FLAIR MR image.
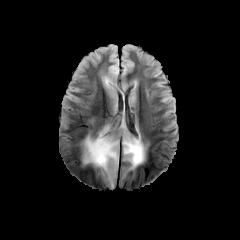
T1-weighted MR.
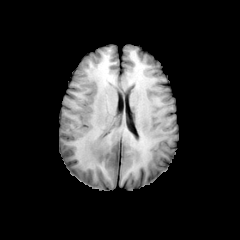
Post-contrast T1-weighted MR image.
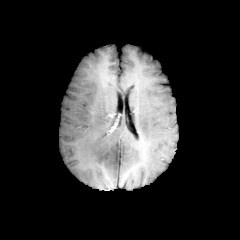
T2-weighted MR image.
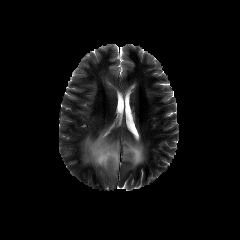
Image size 240x240; Axial plane
peritumoral edema — (left=83, top=126, right=118, bottom=176), (left=123, top=137, right=144, bottom=168)